FLAIR magnetic resonance.
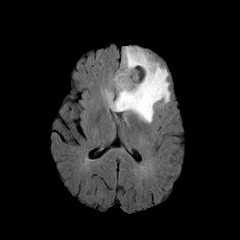
T1-weighted MR.
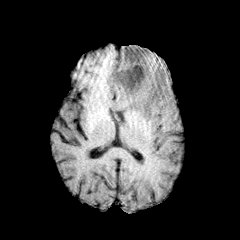
Post-contrast T1-weighted MRI.
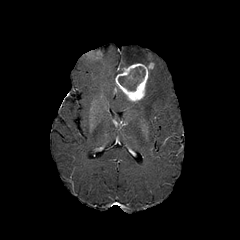
T2-weighted MRI.
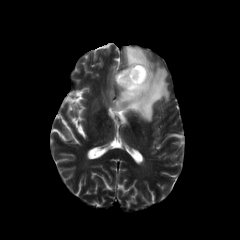
Brain.
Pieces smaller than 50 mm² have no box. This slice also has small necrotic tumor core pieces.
Annotated regions:
* peritumoral edema: l=105, t=46, r=169, b=122
* enhancing tumor: l=115, t=62, r=153, b=102